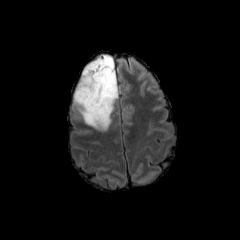
FLAIR MR image.
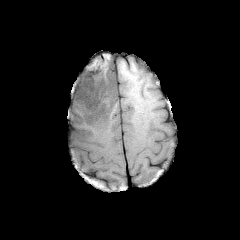
T1-weighted MR image.
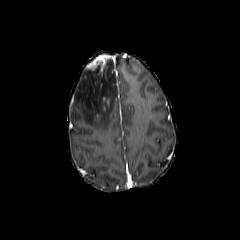
Post-contrast T1-weighted MRI.
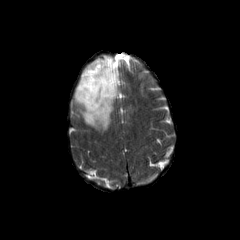
T2-weighted MRI of the same slice.
Image size 240x240, Brain, Axial slice
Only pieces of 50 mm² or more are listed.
The largest enhancing tumor region is located at bbox(86, 54, 110, 74). The peritumoral edema is at bbox(73, 56, 118, 131).